Image covers 240 mm x 240 mm; 240x240; Slice 84/155
FLAIR MR image.
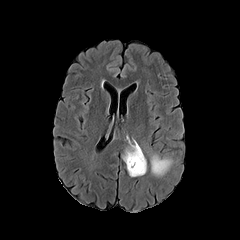
T1-weighted MR image.
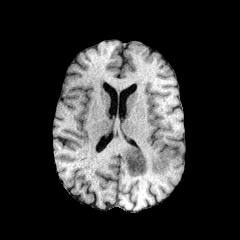
Post-contrast T1-weighted MRI.
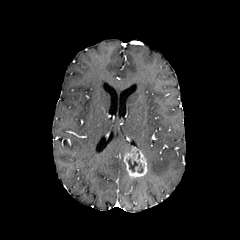
T2-weighted MR image.
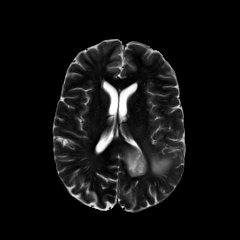
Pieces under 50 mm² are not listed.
The enhancing tumor appears at box=[123, 146, 147, 177]. The largest necrotic tumor core region is located at box=[128, 158, 138, 171]. The largest peritumoral edema region is located at box=[150, 154, 172, 176].